FLAIR MR image.
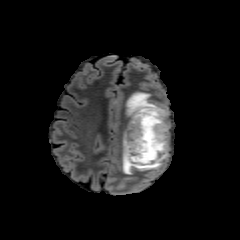
T1-weighted MR image.
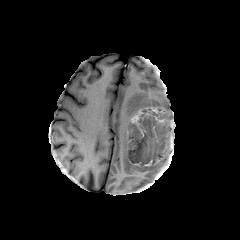
Post-contrast T1-weighted MRI.
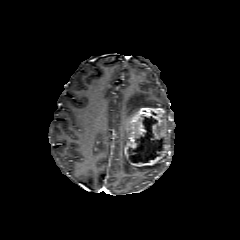
T2-weighted MR image.
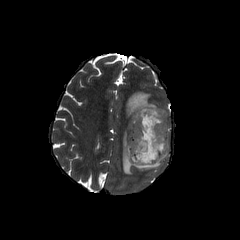
Axial plane
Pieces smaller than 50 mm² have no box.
necrotic tumor core = region(128, 116, 164, 162)
enhancing tumor = region(123, 105, 170, 167)
peritumoral edema = region(125, 92, 168, 119); region(122, 150, 163, 176)